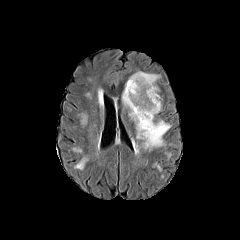
FLAIR MRI.
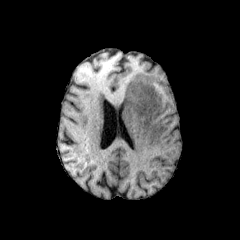
T1-weighted MR of the same slice.
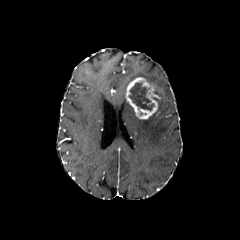
Post-contrast T1-weighted MR image.
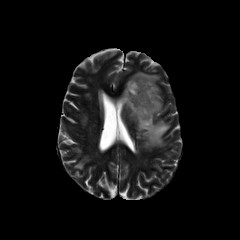
T2-weighted MRI.
Axial view
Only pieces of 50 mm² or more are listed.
The largest enhancing tumor region lies within (x1=125, y1=77, x2=160, y2=119). 2 peritumoral edema regions are located at (x1=154, y1=98, x2=161, y2=113), (x1=122, y1=71, x2=170, y2=149). The necrotic tumor core is at (x1=129, y1=83, x2=153, y2=110).